Slice 76/155 | Brain | Axial slice | Image covers 240 mm x 240 mm
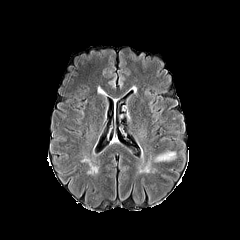
FLAIR MR image.
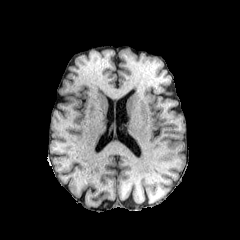
T1-weighted MRI.
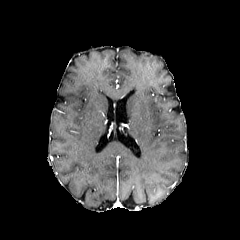
Same slice, post-contrast T1-weighted MRI.
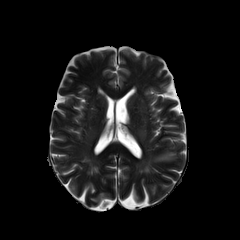
Same slice, T2-weighted MRI.
peritumoral edema: [x1=155, y1=152, x2=175, y2=161]